FLAIR magnetic resonance.
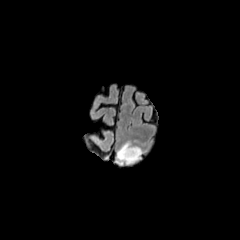
T1-weighted magnetic resonance.
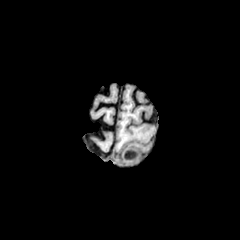
Post-contrast T1-weighted magnetic resonance.
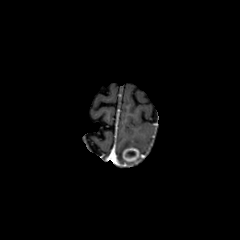
T2-weighted MRI.
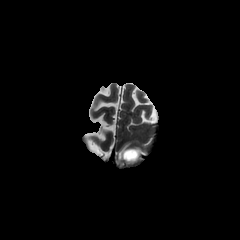
Brain
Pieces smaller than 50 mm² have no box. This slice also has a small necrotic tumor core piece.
<segmentation>
  <enhancing_tumor>(left=121, top=147, right=141, bottom=164)</enhancing_tumor>
  <peritumoral_edema>(left=117, top=142, right=142, bottom=163)</peritumoral_edema>
</segmentation>